Axial slice; Image covers 240 mm x 240 mm
FLAIR magnetic resonance.
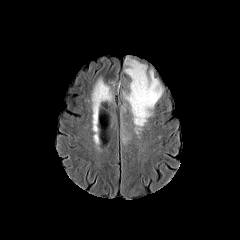
T1-weighted MRI.
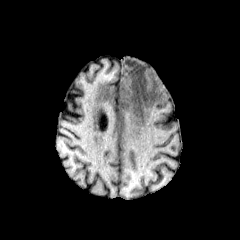
Post-contrast T1-weighted MR.
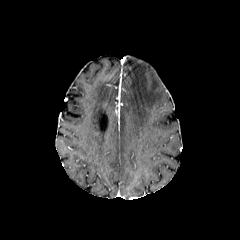
T2-weighted MR image.
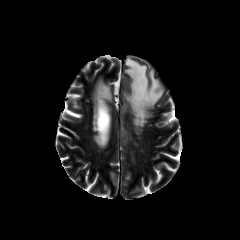
{"peritumoral_edema": ["region(120, 59, 163, 145)", "region(91, 76, 111, 110)"]}